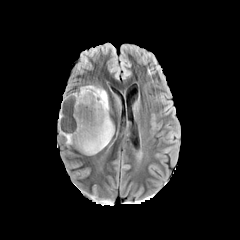
FLAIR MR image.
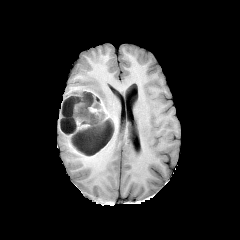
Same slice, T1-weighted MRI.
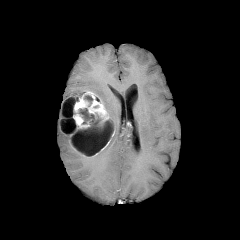
Post-contrast T1-weighted magnetic resonance.
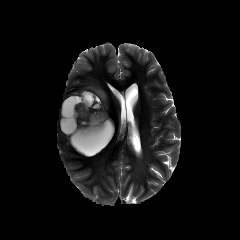
T2-weighted MR image.
Head; 240x240 px
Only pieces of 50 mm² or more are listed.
2 enhancing tumor regions are located at 58 91 110 145, 73 120 114 156. The 3 largest necrotic tumor core regions are located at 61 119 76 133, 61 95 78 116, 71 108 112 154. The largest peritumoral edema region is bounded by 79 85 109 115.